FLAIR MRI.
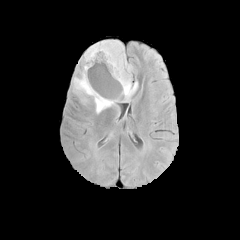
T1-weighted MR image.
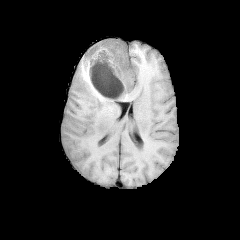
Post-contrast T1-weighted MRI.
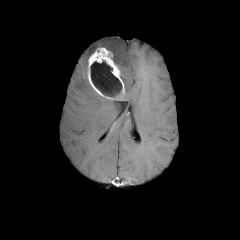
T2-weighted MR image.
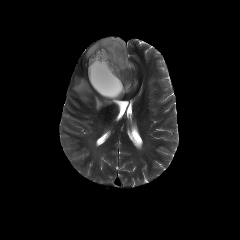
Brain, Image size 240x240
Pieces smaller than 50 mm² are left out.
peritumoral_edema:
  - [x1=72, y1=73, x2=117, y2=114]
  - [x1=85, y1=40, x2=137, y2=99]
enhancing_tumor:
  - [x1=87, y1=47, x2=124, y2=99]
necrotic_tumor_core:
  - [x1=91, y1=60, x2=122, y2=96]